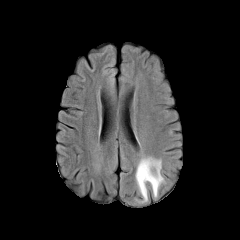
FLAIR MR.
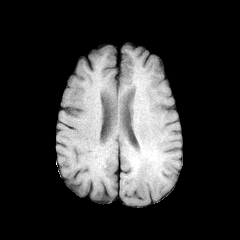
T1-weighted MR image.
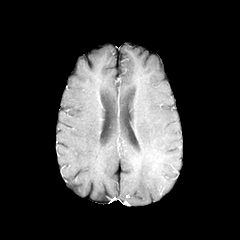
Post-contrast T1-weighted MR image.
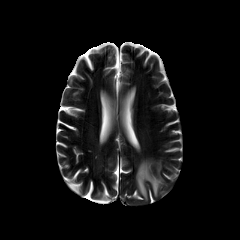
T2-weighted MR.
Brain.
<segmentation>
  <peritumoral_edema>[135,157,165,202]</peritumoral_edema>
</segmentation>